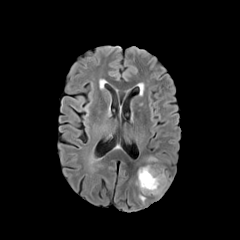
FLAIR MR image.
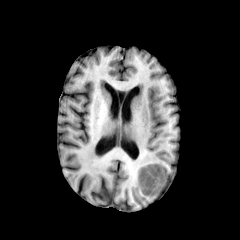
Same slice, T1-weighted MR.
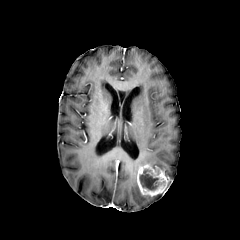
Post-contrast T1-weighted MR image of the same slice.
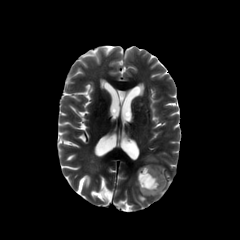
Same slice, T2-weighted MRI.
Axial plane, Image size 240x240
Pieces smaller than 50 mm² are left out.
{
  "enhancing_tumor": [
    "x1=137, y1=164, x2=170, y2=196"
  ],
  "peritumoral_edema": [
    "x1=146, y1=155, x2=158, y2=162"
  ],
  "necrotic_tumor_core": [
    "x1=140, y1=169, x2=159, y2=189"
  ]
}